Brain
FLAIR MR.
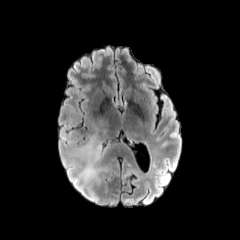
T1-weighted magnetic resonance.
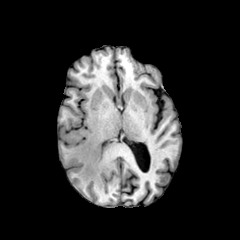
Post-contrast T1-weighted magnetic resonance.
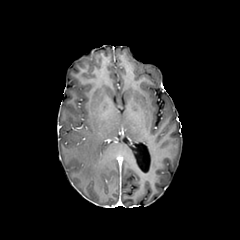
T2-weighted MR.
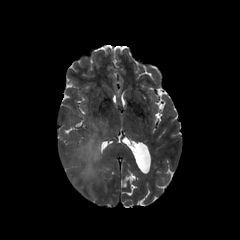
The peritumoral edema is located at 76,134,108,182.